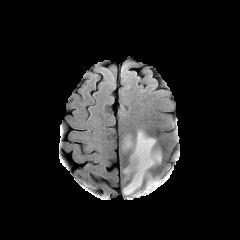
FLAIR magnetic resonance.
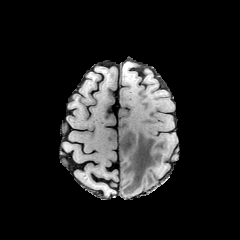
T1-weighted MRI.
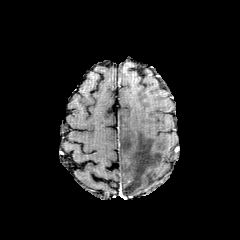
Post-contrast T1-weighted MR of the same slice.
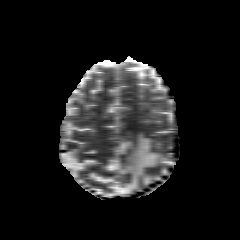
T2-weighted MRI.
Head | 240x240
peritumoral_edema:
  - [122,131,161,195]